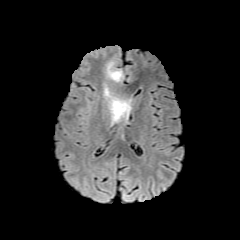
FLAIR MR.
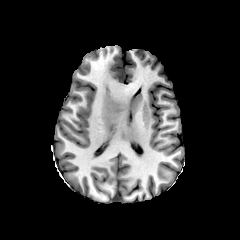
T1-weighted MR image.
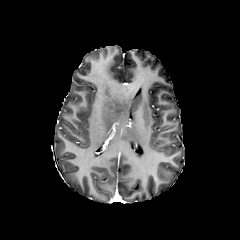
Post-contrast T1-weighted magnetic resonance.
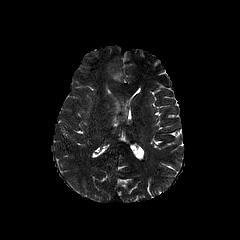
Same slice, T2-weighted MRI.
Brain
<segmentation>
  <peritumoral_edema>bbox(107, 62, 123, 81); bbox(104, 86, 130, 123)</peritumoral_edema>
</segmentation>